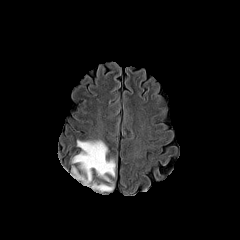
FLAIR magnetic resonance.
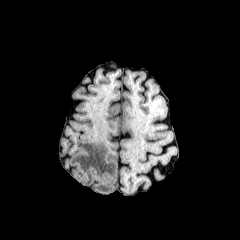
Same slice, T1-weighted MR.
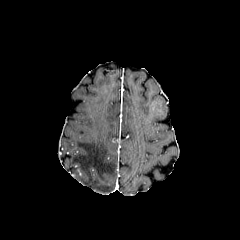
Post-contrast T1-weighted MRI of the same slice.
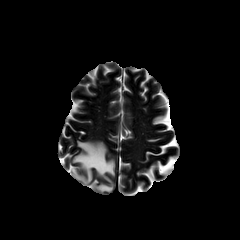
T2-weighted MR image.
240x240 px
peritumoral edema: <box>72,140,115,192</box>